Axial slice. 240x240.
FLAIR MR image.
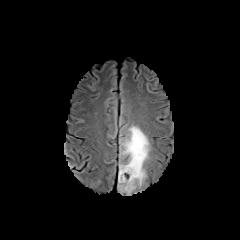
T1-weighted magnetic resonance.
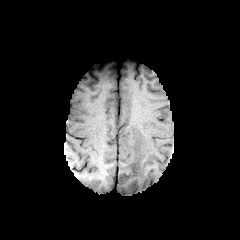
Post-contrast T1-weighted magnetic resonance.
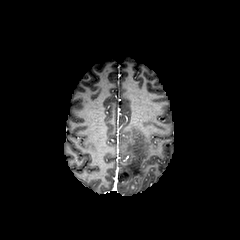
T2-weighted MR.
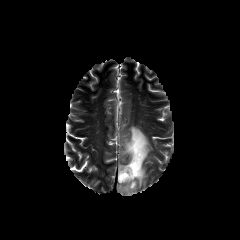
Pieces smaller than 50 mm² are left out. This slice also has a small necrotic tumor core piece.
peritumoral edema: left=118, top=126, right=149, bottom=194